240x240
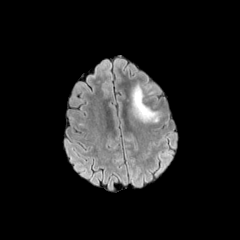
FLAIR MRI.
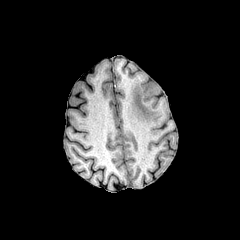
T1-weighted MR.
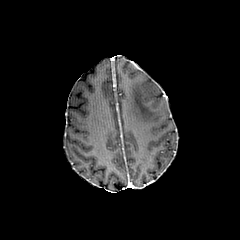
Same slice, post-contrast T1-weighted magnetic resonance.
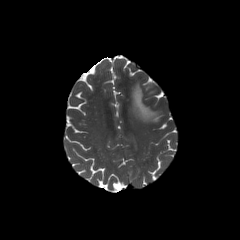
Same slice, T2-weighted magnetic resonance.
<segmentation>
  <peritumoral_edema>[132, 85, 158, 122]</peritumoral_edema>
</segmentation>